240x240 px; Head
FLAIR MR.
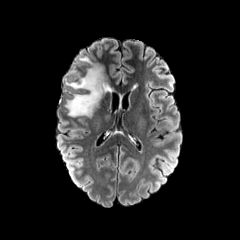
T1-weighted magnetic resonance.
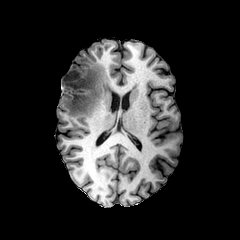
Post-contrast T1-weighted MR image.
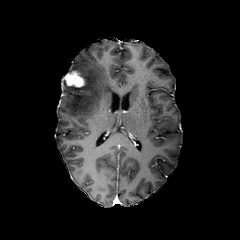
T2-weighted magnetic resonance.
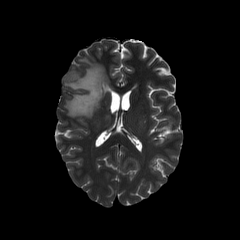
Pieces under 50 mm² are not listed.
peritumoral edema: l=65, t=57, r=107, b=116 | enhancing tumor: l=63, t=70, r=85, b=87